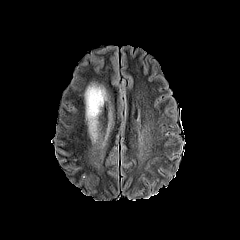
FLAIR magnetic resonance.
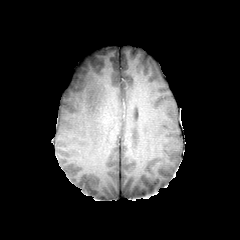
Same slice, T1-weighted MR image.
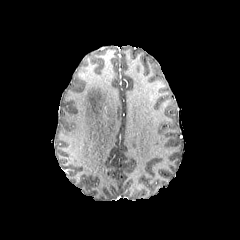
Post-contrast T1-weighted MR.
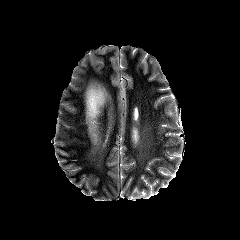
T2-weighted MRI.
Axial plane | 240x240 px
peritumoral edema: {"x1": 86, "y1": 85, "x2": 105, "y2": 140}